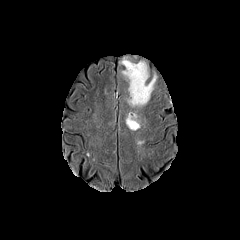
FLAIR MR image.
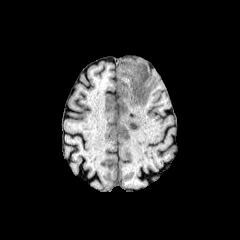
T1-weighted MR.
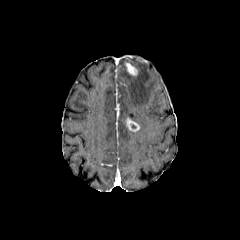
Same slice, post-contrast T1-weighted magnetic resonance.
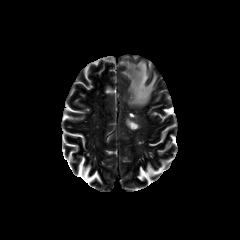
T2-weighted magnetic resonance.
Brain | 240x240 px | Axial plane
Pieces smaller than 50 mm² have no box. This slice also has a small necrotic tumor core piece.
peritumoral edema: bounding box [127, 112, 140, 127], [120, 58, 156, 107]
enhancing tumor: bounding box [126, 118, 139, 131], [125, 62, 138, 75]